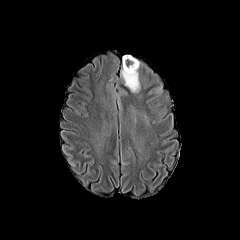
FLAIR MRI.
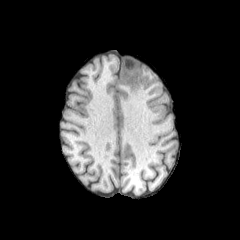
T1-weighted MR image.
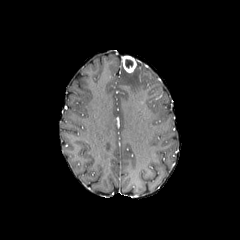
Post-contrast T1-weighted MRI.
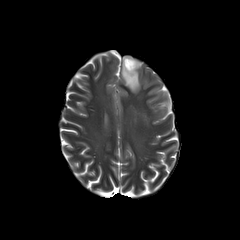
T2-weighted MR image.
Axial view
The necrotic tumor core appears at <bbox>125, 59, 133, 68</bbox>. The enhancing tumor is located at <bbox>123, 55, 136, 72</bbox>. The peritumoral edema appears at <bbox>121, 61, 140, 92</bbox>.